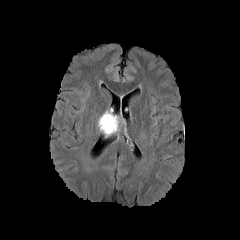
FLAIR MR image.
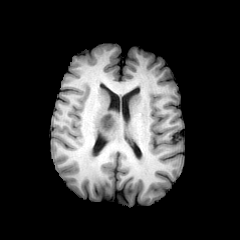
Same slice, T1-weighted MR.
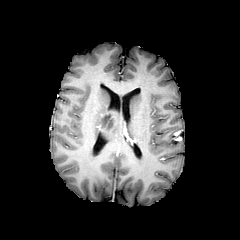
Post-contrast T1-weighted MR.
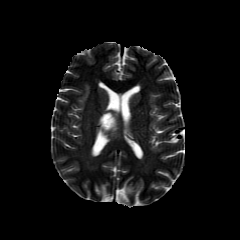
T2-weighted MR image.
Brain
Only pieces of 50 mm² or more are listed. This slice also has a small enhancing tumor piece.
peritumoral_edema:
  - box(99, 111, 118, 134)
necrotic_tumor_core:
  - box(106, 118, 113, 129)
  - box(101, 115, 110, 128)